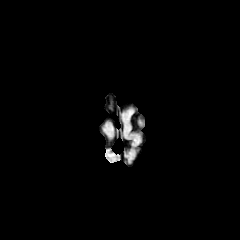
FLAIR MRI.
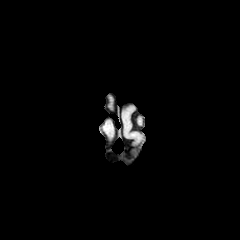
Same slice, T1-weighted MR image.
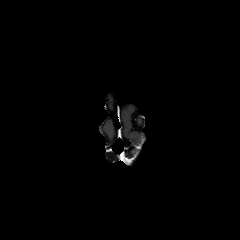
Post-contrast T1-weighted magnetic resonance of the same slice.
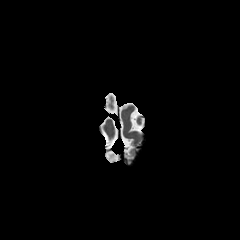
T2-weighted MRI.
Axial plane | Head
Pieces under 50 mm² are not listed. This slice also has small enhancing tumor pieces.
The peritumoral edema is at bbox(127, 149, 135, 157).